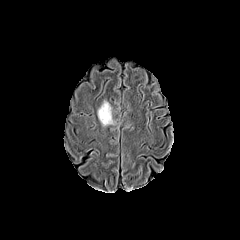
FLAIR MR.
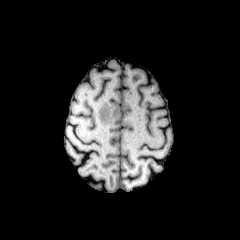
T1-weighted MRI.
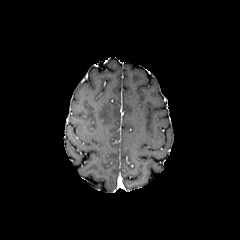
Post-contrast T1-weighted MRI of the same slice.
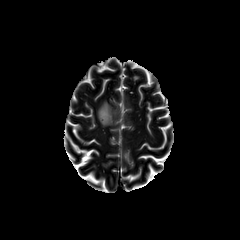
T2-weighted MR image of the same slice.
240x240.
• peritumoral edema: rect(98, 101, 113, 125)